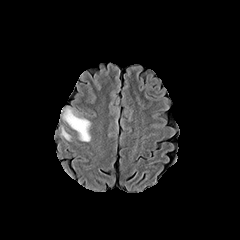
FLAIR magnetic resonance.
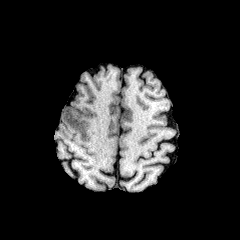
T1-weighted MRI.
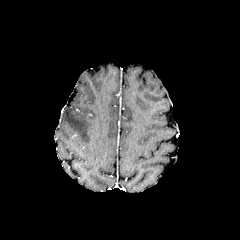
Post-contrast T1-weighted MRI.
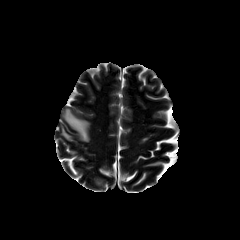
T2-weighted MR image of the same slice.
Axial view, Head
• peritumoral edema: bbox(61, 127, 70, 140); bbox(63, 108, 90, 141)